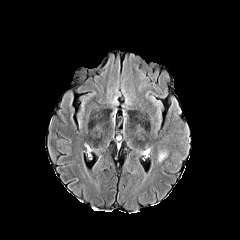
FLAIR magnetic resonance.
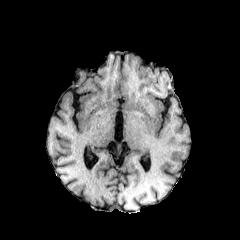
Same slice, T1-weighted MRI.
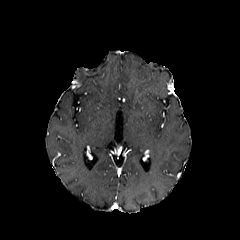
Same slice, post-contrast T1-weighted magnetic resonance.
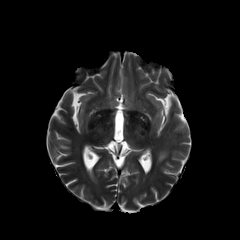
T2-weighted MRI.
Axial view
The peritumoral edema is at l=158, t=152, r=166, b=161.